Image size 240x240; Slice 74 of 155; Brain
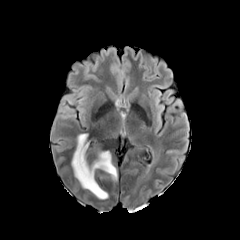
FLAIR MR.
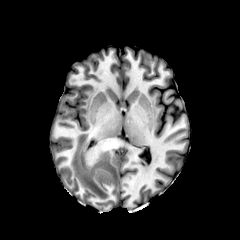
T1-weighted magnetic resonance.
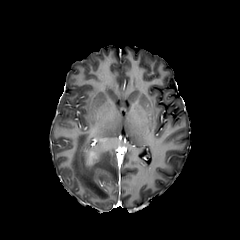
Post-contrast T1-weighted MR.
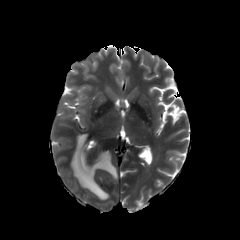
T2-weighted MR image of the same slice.
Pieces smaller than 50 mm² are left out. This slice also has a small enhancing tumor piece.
{
  "peritumoral_edema": [
    "<box>71,134,117,199</box>"
  ]
}